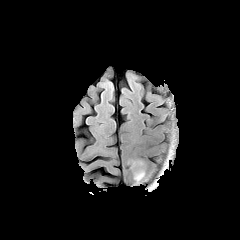
FLAIR magnetic resonance.
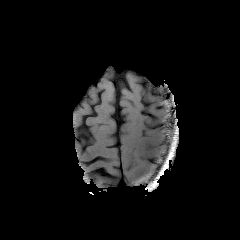
T1-weighted magnetic resonance.
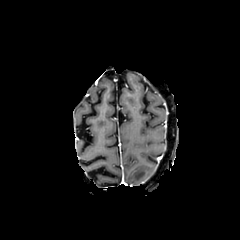
Post-contrast T1-weighted magnetic resonance of the same slice.
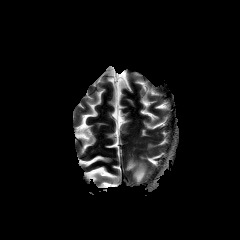
T2-weighted magnetic resonance.
Head, Axial slice
The peritumoral edema is at (131, 161, 145, 182).